FLAIR magnetic resonance.
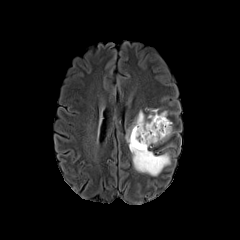
T1-weighted MRI.
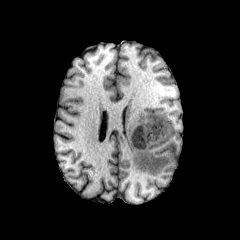
Post-contrast T1-weighted MR.
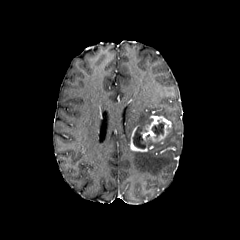
T2-weighted MR image.
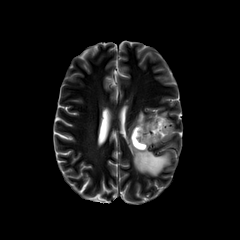
Brain
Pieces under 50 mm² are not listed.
enhancing tumor: [140, 115, 171, 142], [130, 125, 147, 151]
necrotic tumor core: [133, 127, 147, 148], [152, 122, 164, 136]
peritumoral edema: [130, 141, 170, 176], [126, 110, 152, 148]